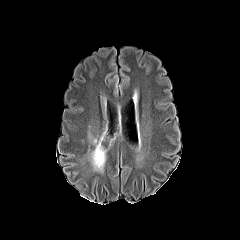
FLAIR MR.
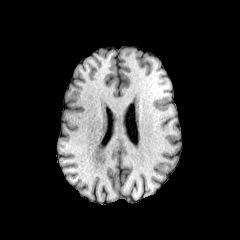
T1-weighted MRI of the same slice.
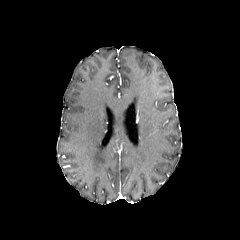
Post-contrast T1-weighted magnetic resonance of the same slice.
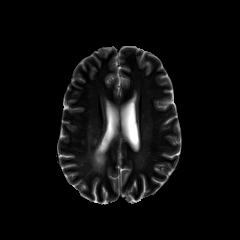
T2-weighted MR image.
Brain; Axial plane; 240x240
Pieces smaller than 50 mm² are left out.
peritumoral edema: (x1=91, y1=144, x2=105, y2=171)